Head
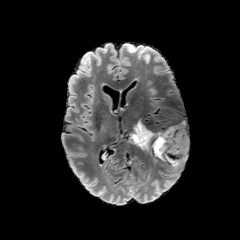
FLAIR MR image.
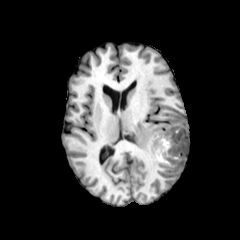
T1-weighted MR image of the same slice.
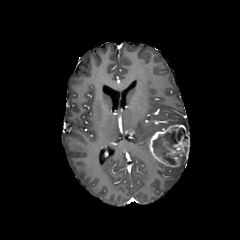
Same slice, post-contrast T1-weighted MR image.
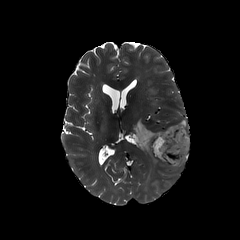
T2-weighted MR image of the same slice.
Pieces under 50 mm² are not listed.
The enhancing tumor is at (149, 124, 189, 167). The largest peritumoral edema region appears at (128, 119, 154, 154). The largest necrotic tumor core region appears at (152, 127, 187, 165).